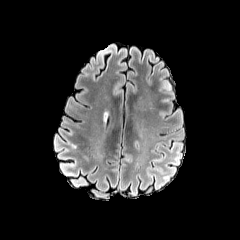
FLAIR MR image.
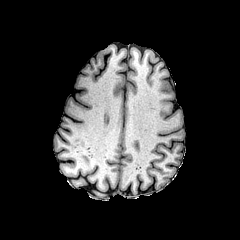
T1-weighted MRI of the same slice.
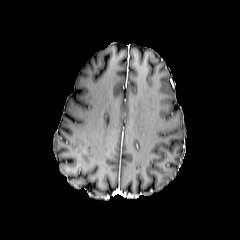
Post-contrast T1-weighted MRI of the same slice.
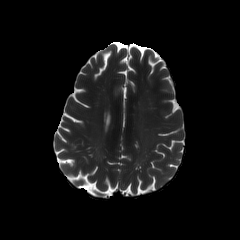
Same slice, T2-weighted MR image.
Brain; 240x240 px; Axial slice
peritumoral_edema:
  - <box>160,79,170,92</box>